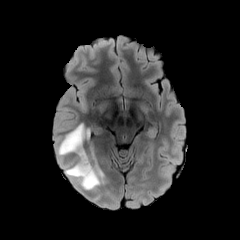
FLAIR MRI.
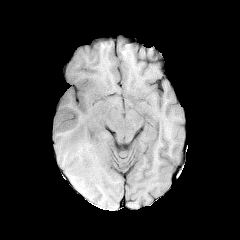
T1-weighted MRI.
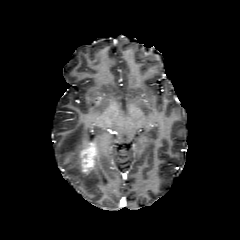
Post-contrast T1-weighted MR of the same slice.
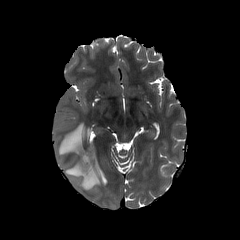
T2-weighted magnetic resonance of the same slice.
Axial slice, 240x240 px
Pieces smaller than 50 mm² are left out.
enhancing tumor — box(79, 142, 96, 175)
peritumoral edema — box(57, 123, 104, 190)